Axial plane, Head
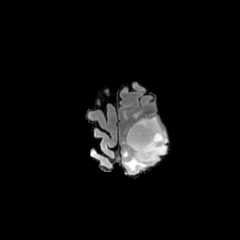
FLAIR magnetic resonance.
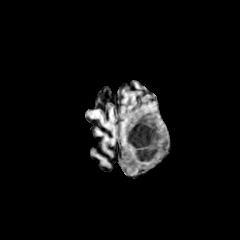
T1-weighted MR image.
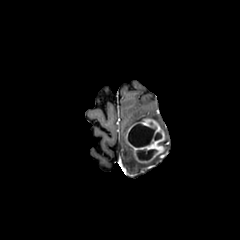
Post-contrast T1-weighted MR.
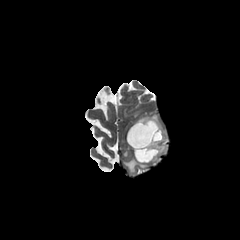
T2-weighted MR of the same slice.
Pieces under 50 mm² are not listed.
The largest peritumoral edema region lies within [122,145,158,173]. The enhancing tumor appears at [126,118,166,163]. The 2 largest necrotic tumor core regions are located at [136,150,156,160], [128,124,154,147].